FLAIR MR.
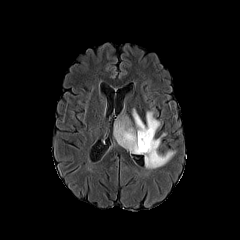
T1-weighted MR image.
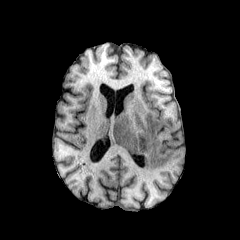
Post-contrast T1-weighted MR.
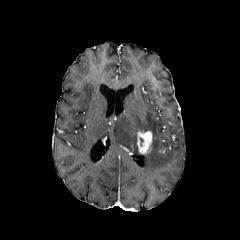
T2-weighted MRI.
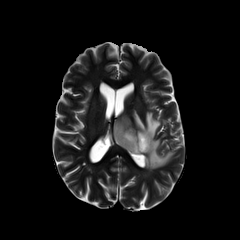
240x240 px | Brain
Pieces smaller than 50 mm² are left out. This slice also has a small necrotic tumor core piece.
enhancing tumor: [x1=137, y1=131, x2=152, y2=153] | peritumoral edema: [x1=113, y1=109, x2=175, y2=169]